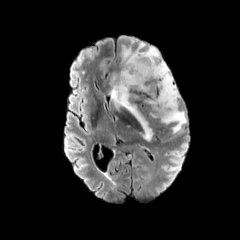
FLAIR MRI.
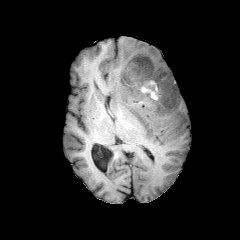
T1-weighted MR image.
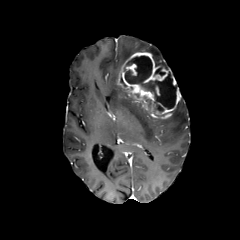
Post-contrast T1-weighted MRI.
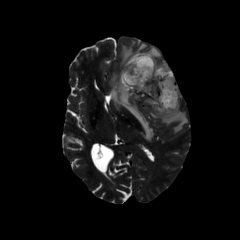
Same slice, T2-weighted MR image.
Axial slice | 240x240 | Brain
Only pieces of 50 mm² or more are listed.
peritumoral edema = box(109, 71, 153, 140); box(121, 42, 168, 67); box(158, 102, 187, 133)
enhancing tumor = box(118, 52, 181, 118)
necrotic tumor core = box(125, 56, 176, 111)